Slice index 81; Image size 240x240
FLAIR magnetic resonance.
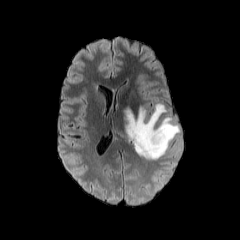
T1-weighted MR image.
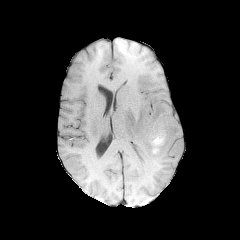
Post-contrast T1-weighted MRI.
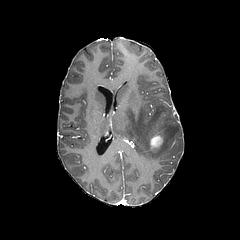
T2-weighted magnetic resonance.
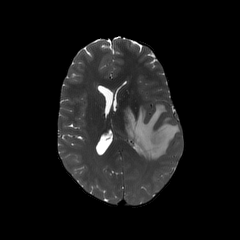
peritumoral edema: 125:103:181:159 | enhancing tumor: 150:133:163:148